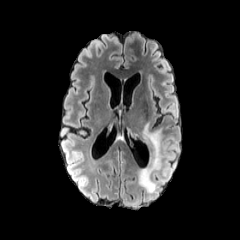
FLAIR MR image.
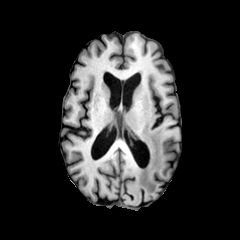
T1-weighted MRI.
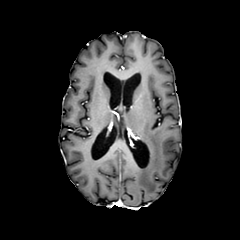
Same slice, post-contrast T1-weighted MR.
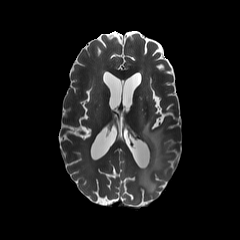
T2-weighted MR image.
Axial plane | Head
peritumoral edema = x1=139, y1=123, x2=161, y2=192